Slice 36 of 155 | Axial slice | Brain
FLAIR MR.
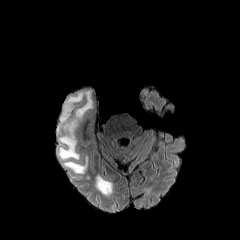
T1-weighted magnetic resonance.
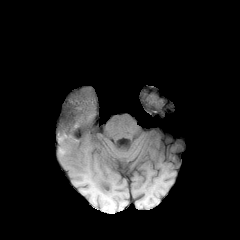
Post-contrast T1-weighted MR image.
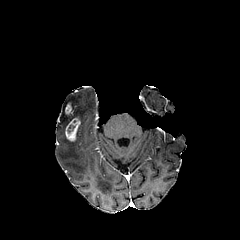
T2-weighted MR.
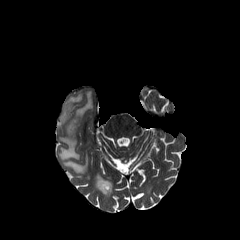
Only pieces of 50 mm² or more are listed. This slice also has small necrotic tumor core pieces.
peritumoral edema: (x1=58, y1=90, x2=93, y2=173), (x1=95, y1=174, x2=112, y2=194) | enhancing tumor: (x1=65, y1=103, x2=72, y2=117), (x1=65, y1=117, x2=80, y2=141)